Brain. Image size 240x240.
FLAIR MRI.
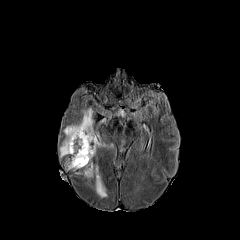
T1-weighted magnetic resonance.
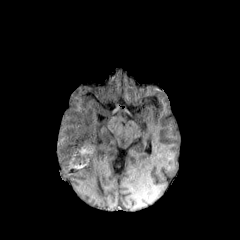
Post-contrast T1-weighted magnetic resonance.
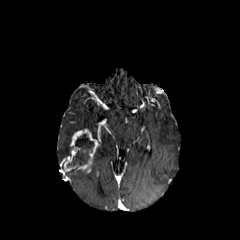
T2-weighted MR.
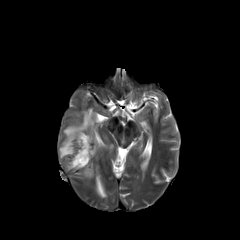
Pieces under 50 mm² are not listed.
The largest enhancing tumor region lies within box=[62, 128, 100, 173]. The 2 largest peritumoral edema regions are located at box=[59, 108, 96, 158]; box=[76, 165, 107, 197]. The largest necrotic tumor core region is at box=[67, 134, 93, 166].